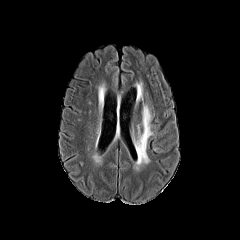
FLAIR MRI.
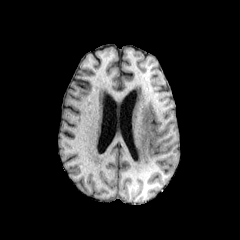
T1-weighted MR.
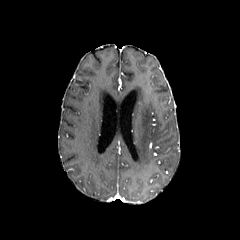
Post-contrast T1-weighted MRI.
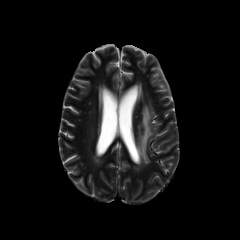
T2-weighted magnetic resonance.
Brain; Axial view; 240x240
Segmented structures:
* peritumoral edema: <box>138,104,153,163</box>